FLAIR MR.
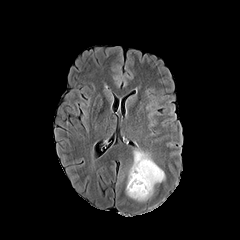
T1-weighted MRI.
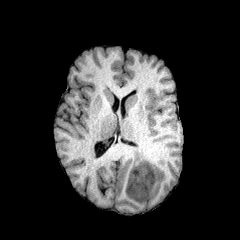
Post-contrast T1-weighted MRI.
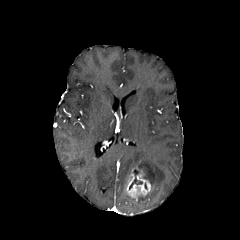
T2-weighted magnetic resonance.
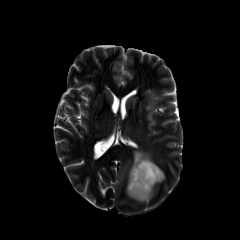
Axial slice
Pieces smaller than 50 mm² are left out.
Segmented structures:
• enhancing tumor: 126,166,151,199
• peritumoral edema: 129,150,165,201
• necrotic tumor core: 129,169,142,189